Brain | 240x240 px | Image covers 240 mm x 240 mm | Slice index 44
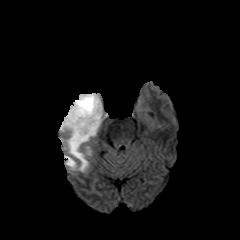
FLAIR MR.
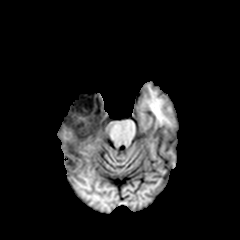
T1-weighted MRI.
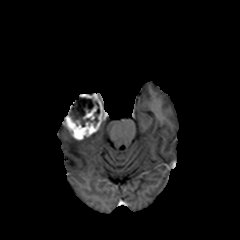
Post-contrast T1-weighted magnetic resonance of the same slice.
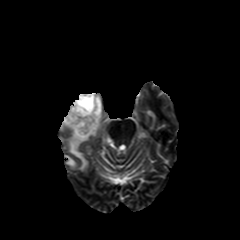
T2-weighted MR.
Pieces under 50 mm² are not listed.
{"enhancing_tumor": ["l=62, t=93, r=106, b=140"], "peritumoral_edema": ["l=64, t=135, r=91, b=171"], "necrotic_tumor_core": ["l=70, t=96, r=99, b=126"]}